Image size 240x240 | Slice 108/155 | Axial view
FLAIR MR image.
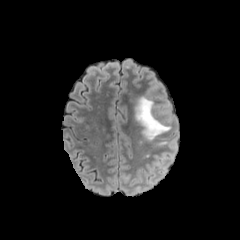
T1-weighted MR image.
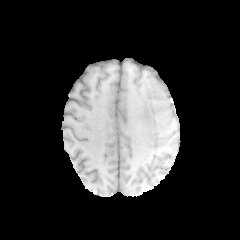
Post-contrast T1-weighted magnetic resonance.
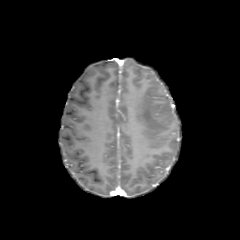
T2-weighted MR.
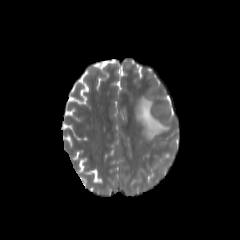
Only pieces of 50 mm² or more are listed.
• peritumoral edema: (135, 96, 170, 140)